FLAIR magnetic resonance.
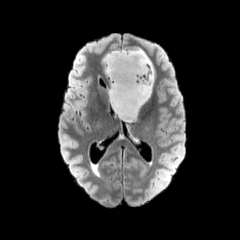
T1-weighted magnetic resonance.
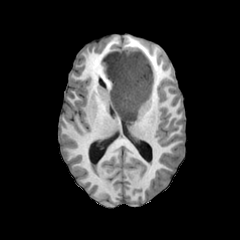
Post-contrast T1-weighted magnetic resonance.
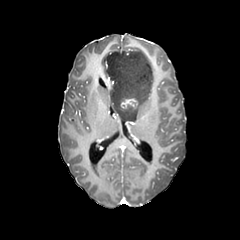
T2-weighted magnetic resonance.
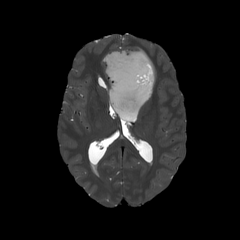
240x240 px, Brain
* enhancing tumor: [x1=120, y1=98, x2=138, y2=108]
* peritumoral edema: [x1=103, y1=48, x2=154, y2=121]